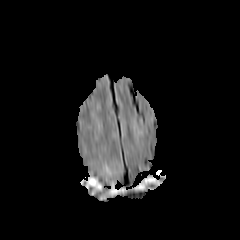
FLAIR MR image.
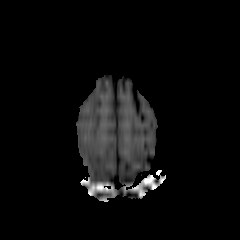
Same slice, T1-weighted magnetic resonance.
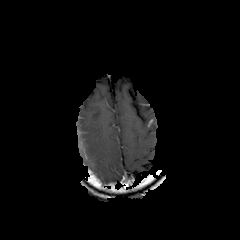
Post-contrast T1-weighted MR.
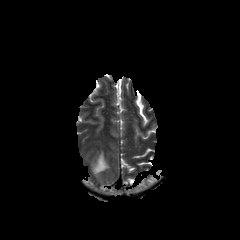
T2-weighted MR image.
The peritumoral edema is located at 101, 161, 109, 173.